FLAIR MR image.
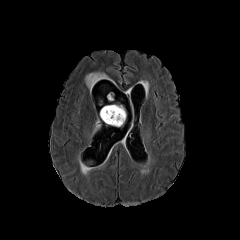
T1-weighted MR.
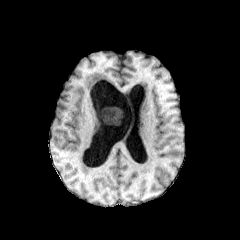
Post-contrast T1-weighted MR image.
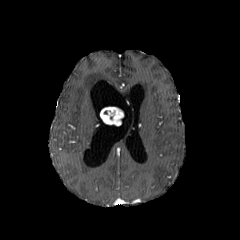
T2-weighted magnetic resonance.
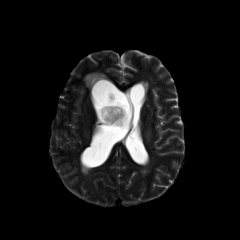
240x240 px
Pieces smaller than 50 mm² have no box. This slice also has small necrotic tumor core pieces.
enhancing_tumor:
  - 100, 106, 124, 125
peritumoral_edema:
  - 85, 72, 111, 91